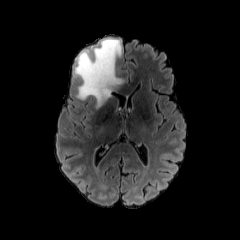
FLAIR MRI.
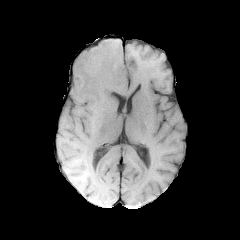
T1-weighted MR image of the same slice.
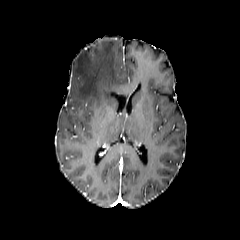
Same slice, post-contrast T1-weighted MR image.
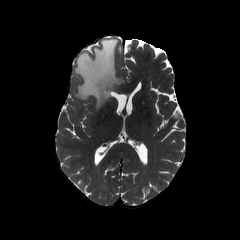
Same slice, T2-weighted MR.
Axial view, Brain
The peritumoral edema is located at left=74, top=38, right=124, bottom=108.